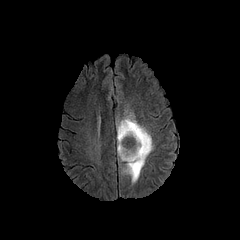
FLAIR MRI.
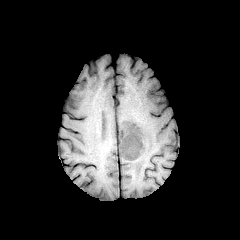
T1-weighted MRI of the same slice.
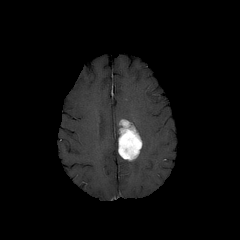
Same slice, post-contrast T1-weighted MRI.
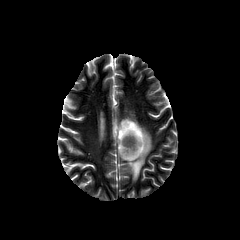
Same slice, T2-weighted MR image.
Brain, Axial view
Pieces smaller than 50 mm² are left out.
The largest peritumoral edema region lies within bbox(121, 112, 153, 183). The enhancing tumor lies within bbox(118, 119, 142, 161).